Slice index 48, Head
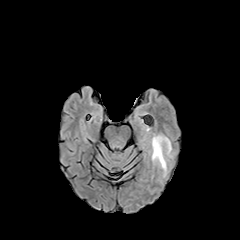
FLAIR magnetic resonance.
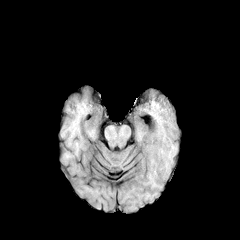
Same slice, T1-weighted MR.
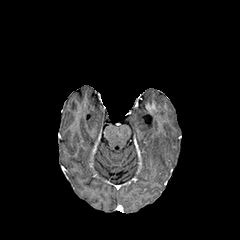
Same slice, post-contrast T1-weighted MR.
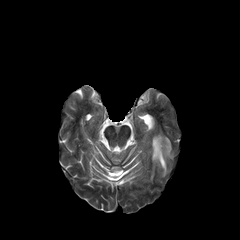
Same slice, T2-weighted MR image.
Annotated regions:
• peritumoral edema: x1=151, y1=134, x2=171, y2=175